Slice index 61 | Axial plane
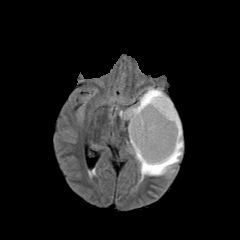
FLAIR magnetic resonance.
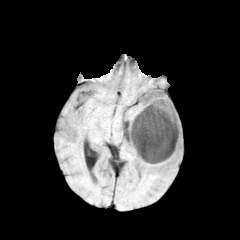
Same slice, T1-weighted MRI.
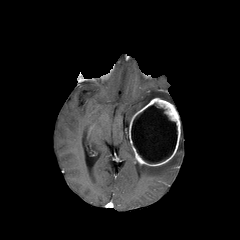
Same slice, post-contrast T1-weighted magnetic resonance.
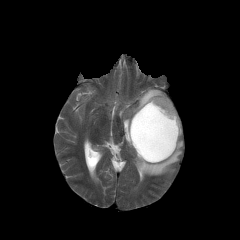
T2-weighted MR image of the same slice.
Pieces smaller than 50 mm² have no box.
enhancing_tumor:
  - [128,97,180,166]
peritumoral_edema:
  - [139,125,183,180]
  - [119,87,171,123]
necrotic_tumor_core:
  - [131,103,177,163]